Axial view.
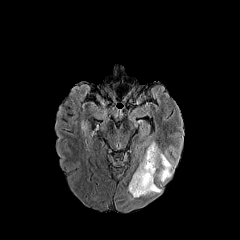
FLAIR MR.
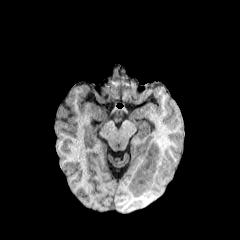
Same slice, T1-weighted magnetic resonance.
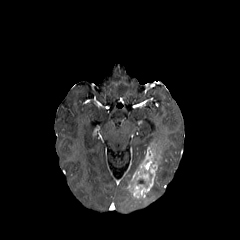
Post-contrast T1-weighted MRI.
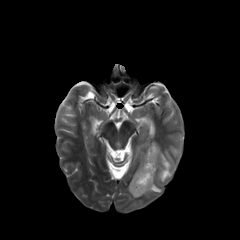
Same slice, T2-weighted MR image.
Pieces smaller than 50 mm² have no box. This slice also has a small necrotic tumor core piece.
{"peritumoral_edema": ["rect(146, 184, 161, 194)", "rect(158, 153, 172, 182)"], "enhancing_tumor": ["rect(128, 142, 161, 197)"]}